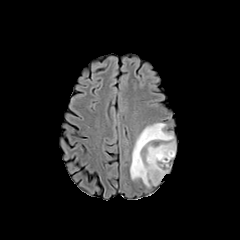
FLAIR MRI.
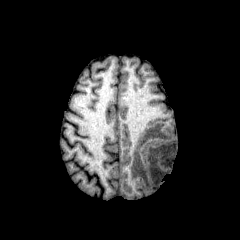
T1-weighted magnetic resonance.
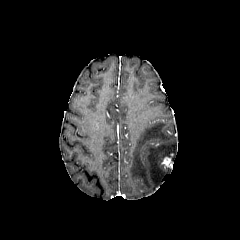
Post-contrast T1-weighted MRI of the same slice.
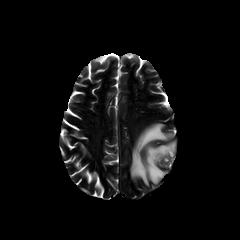
Same slice, T2-weighted MRI.
Head; Axial view
peritumoral_edema:
  - x1=130 y1=123 x2=175 y2=186
enhancing_tumor:
  - x1=161 y1=153 x2=173 y2=167